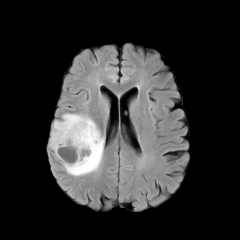
FLAIR magnetic resonance.
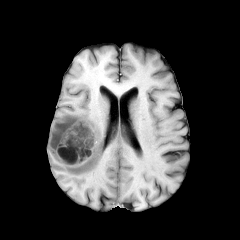
T1-weighted MR.
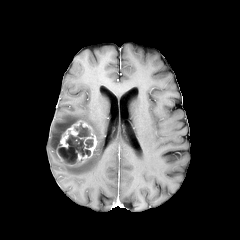
Post-contrast T1-weighted MRI.
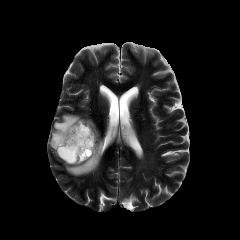
T2-weighted MR image of the same slice.
Brain
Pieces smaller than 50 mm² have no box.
necrotic tumor core: bbox(58, 124, 90, 164); bbox(85, 139, 93, 147)
enhancing tumor: bbox(56, 120, 97, 166)
peritumoral edema: bbox(49, 114, 104, 176)